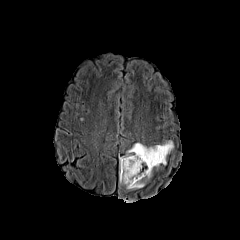
FLAIR magnetic resonance.
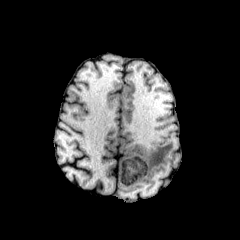
T1-weighted MR image.
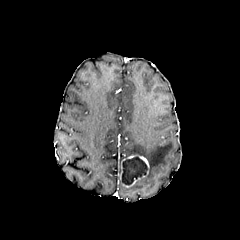
Post-contrast T1-weighted MR.
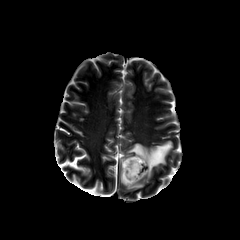
T2-weighted magnetic resonance of the same slice.
Image size 240x240
<segmentation>
  <necrotic_tumor_core>box(122, 156, 147, 185)</necrotic_tumor_core>
  <peritumoral_edema>box(126, 180, 144, 189); box(119, 141, 173, 178)</peritumoral_edema>
  <enhancing_tumor>box(119, 154, 149, 187)</enhancing_tumor>
</segmentation>